FLAIR MRI.
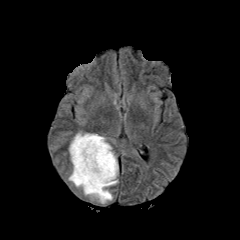
T1-weighted MRI.
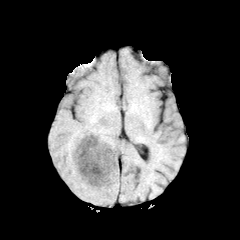
Post-contrast T1-weighted magnetic resonance.
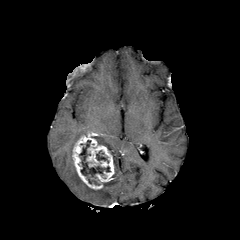
T2-weighted MRI.
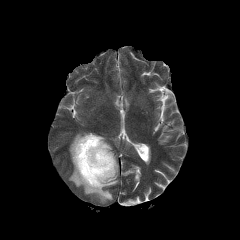
Axial view. 240x240.
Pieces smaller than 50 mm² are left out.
enhancing tumor = (72, 133, 115, 189)
necrotic tumor core = (79, 140, 110, 185), (96, 151, 108, 162)
peritumoral edema = (68, 132, 118, 203)